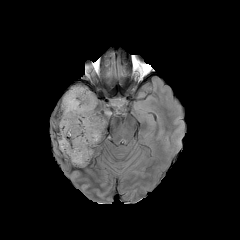
FLAIR MR.
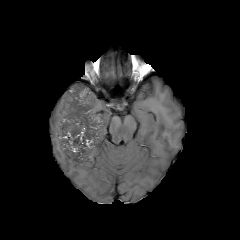
T1-weighted MR of the same slice.
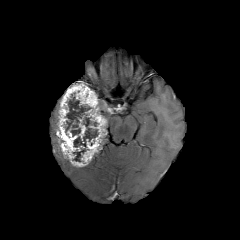
Post-contrast T1-weighted MRI.
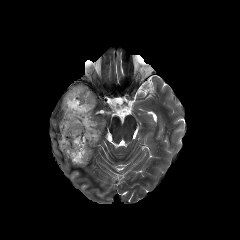
T2-weighted MR of the same slice.
Brain; 240x240
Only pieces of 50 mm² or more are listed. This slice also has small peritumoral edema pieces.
The 2 largest necrotic tumor core regions appear at [73, 117, 98, 161], [65, 94, 90, 136]. The largest enhancing tumor region appears at [57, 83, 106, 166].